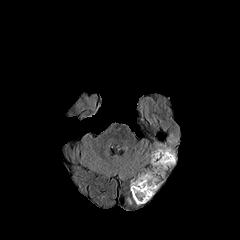
FLAIR MR.
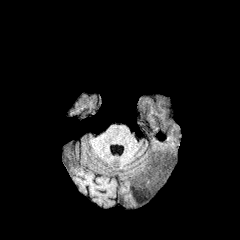
Same slice, T1-weighted MR image.
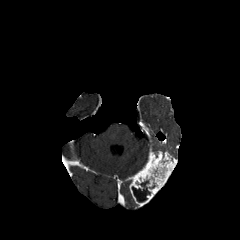
Same slice, post-contrast T1-weighted MR.
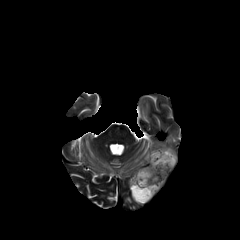
Same slice, T2-weighted MR image.
Axial view. 240x240 px. Head.
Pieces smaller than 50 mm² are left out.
The largest necrotic tumor core region appears at [x1=132, y1=180, x2=150, y2=202]. The largest peritumoral edema region is located at [x1=154, y1=143, x2=175, y2=156]. The enhancing tumor is located at [x1=129, y1=150, x2=177, y2=206].